FLAIR MRI.
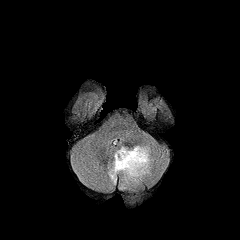
T1-weighted magnetic resonance.
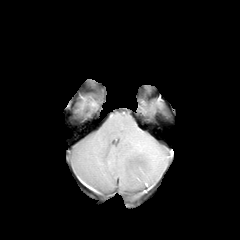
Post-contrast T1-weighted MR image.
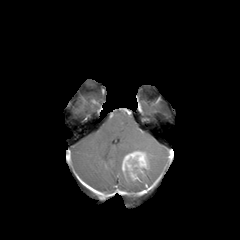
T2-weighted magnetic resonance.
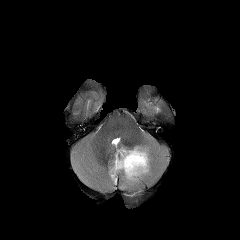
240x240
peritumoral edema: x1=108 y1=145 x2=153 y2=188 | enhancing tumor: x1=122 y1=151 x2=149 y2=181